FLAIR MRI.
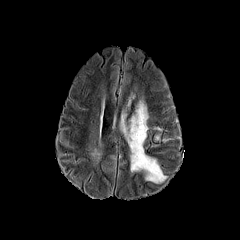
T1-weighted MR.
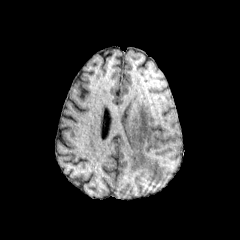
Post-contrast T1-weighted MR.
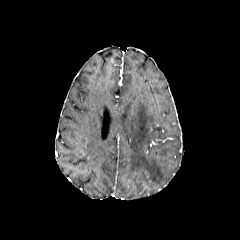
T2-weighted MR.
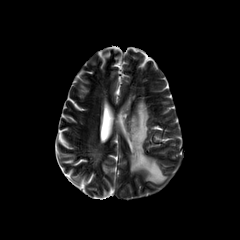
240x240
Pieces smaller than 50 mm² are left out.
The largest peritumoral edema region is located at [120,101,166,183].